FLAIR MR image.
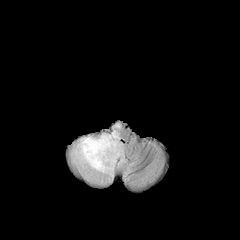
T1-weighted MRI.
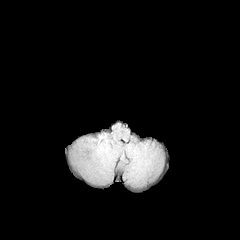
Post-contrast T1-weighted MR image.
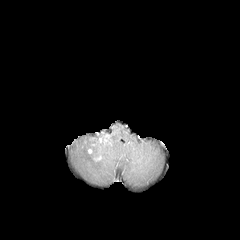
T2-weighted MR.
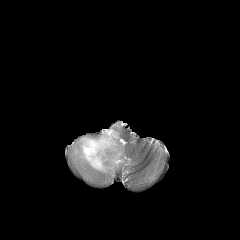
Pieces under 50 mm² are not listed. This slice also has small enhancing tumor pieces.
peritumoral edema — (69,122,127,183)